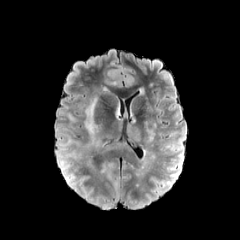
FLAIR MR image.
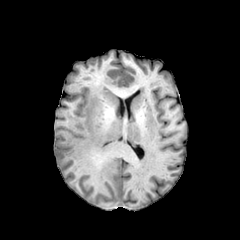
T1-weighted MR image.
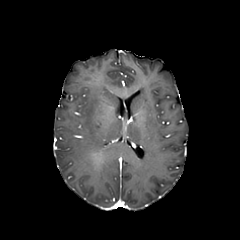
Post-contrast T1-weighted MRI.
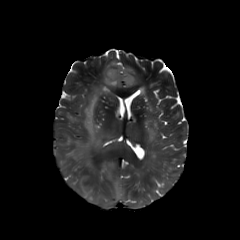
T2-weighted MRI.
Axial slice | Brain
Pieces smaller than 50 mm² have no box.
The 4 largest peritumoral edema regions are located at [x1=102, y1=163, x2=113, y2=177], [x1=57, y1=152, x2=74, y2=173], [x1=127, y1=124, x2=140, y2=144], [x1=84, y1=97, x2=101, y2=147].